FLAIR MR.
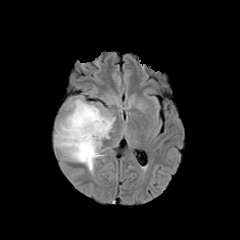
T1-weighted magnetic resonance.
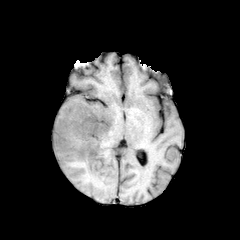
Post-contrast T1-weighted magnetic resonance.
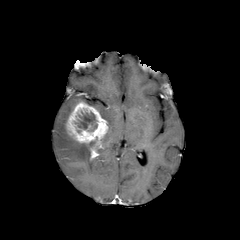
T2-weighted magnetic resonance.
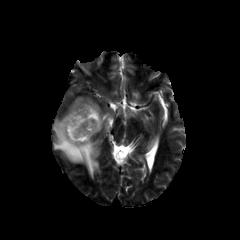
Image size 240x240
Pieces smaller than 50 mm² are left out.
necrotic tumor core: bounding box 75,111,95,129
peritumoral edema: bounding box 54,96,102,174; 87,102,115,138
enhancing tumor: bounding box 65,101,108,159